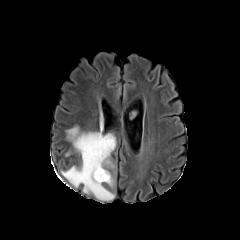
FLAIR MRI.
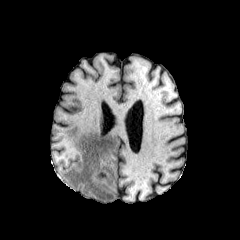
Same slice, T1-weighted MR.
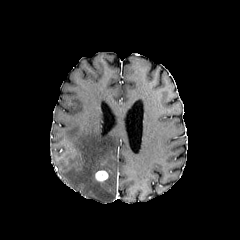
Post-contrast T1-weighted MR.
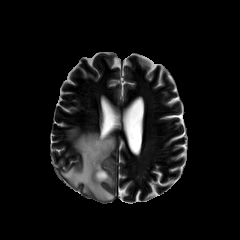
Same slice, T2-weighted MRI.
Axial view.
• enhancing tumor: (95,170,108,181)
• peritumoral edema: (61,127,116,200)